FLAIR magnetic resonance.
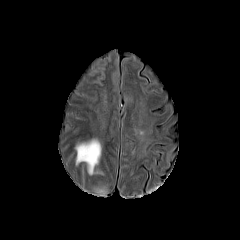
T1-weighted magnetic resonance.
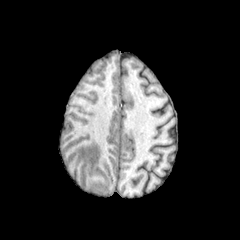
Post-contrast T1-weighted magnetic resonance.
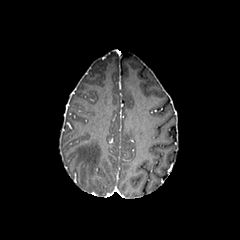
T2-weighted MR.
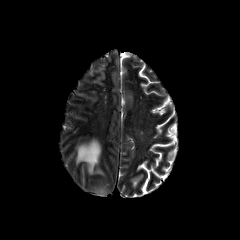
Axial view | 240x240 px | Head
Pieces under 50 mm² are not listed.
The largest peritumoral edema region appears at (x1=76, y1=139, x2=101, y2=174).